Slice 62/155
FLAIR MRI.
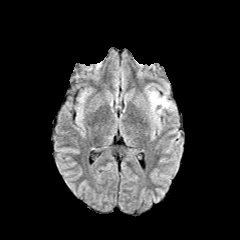
T1-weighted magnetic resonance.
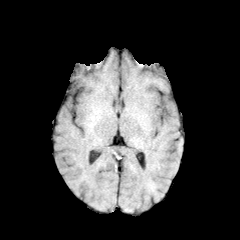
Post-contrast T1-weighted MR.
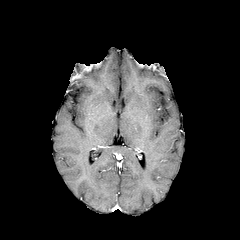
T2-weighted MR image.
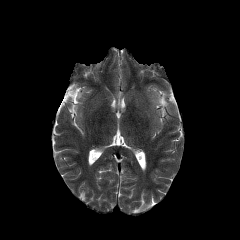
peritumoral edema: (left=150, top=92, right=169, bottom=107)